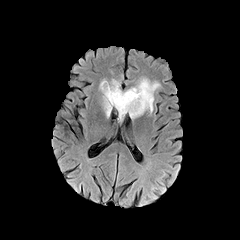
FLAIR MR.
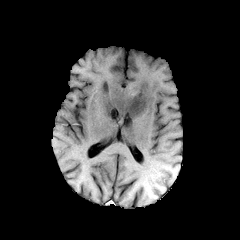
T1-weighted MR.
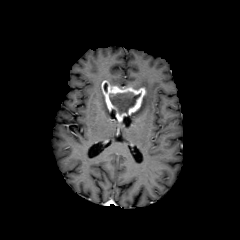
Same slice, post-contrast T1-weighted MR.
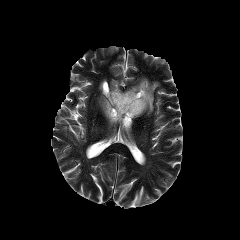
Same slice, T2-weighted magnetic resonance.
Head.
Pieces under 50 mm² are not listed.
Segmented structures:
* enhancing tumor: (left=101, top=80, right=146, bottom=122)
* necrotic tumor core: (left=110, top=92, right=140, bottom=113)
* peritumoral edema: (left=109, top=79, right=120, bottom=86), (left=130, top=78, right=160, bottom=118), (left=102, top=93, right=111, bottom=117)